Slice 101/155, 240x240
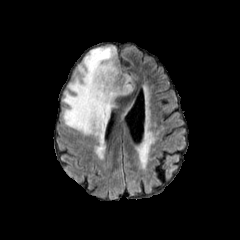
FLAIR MRI.
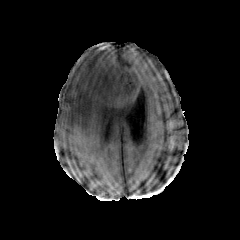
T1-weighted MR image.
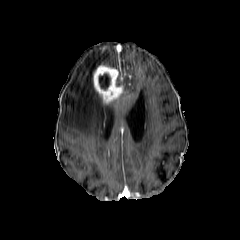
Post-contrast T1-weighted magnetic resonance of the same slice.
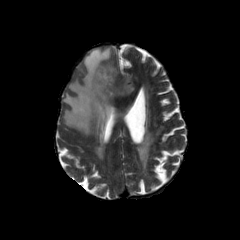
T2-weighted MRI of the same slice.
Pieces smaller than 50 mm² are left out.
enhancing_tumor:
  - l=92, t=61, r=131, b=105
necrotic_tumor_core:
  - l=99, t=74, r=110, b=89
peritumoral_edema:
  - l=62, t=46, r=134, b=137